Slice index 122, Image width 240 mm
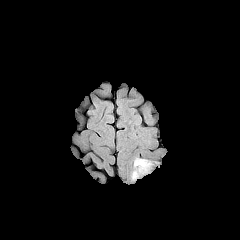
FLAIR MRI.
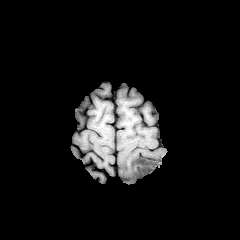
Same slice, T1-weighted MRI.
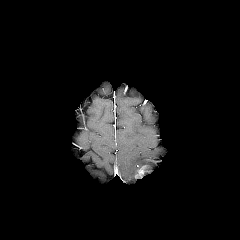
Post-contrast T1-weighted magnetic resonance.
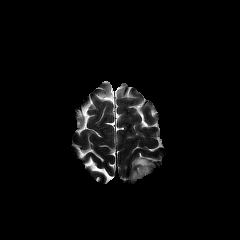
T2-weighted MRI of the same slice.
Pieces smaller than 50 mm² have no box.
The enhancing tumor lies within box(135, 165, 147, 177). The largest peritumoral edema region appears at box(134, 158, 150, 169).